FLAIR magnetic resonance.
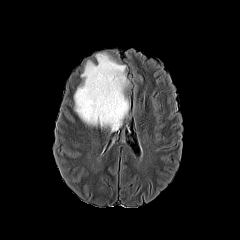
T1-weighted MR.
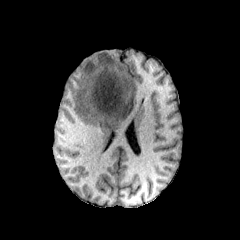
Post-contrast T1-weighted MR.
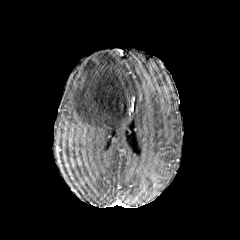
T2-weighted magnetic resonance.
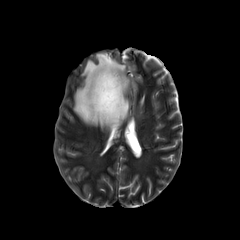
Axial slice, Brain
Findings:
• peritumoral edema: [74,52,129,131]